FLAIR MR.
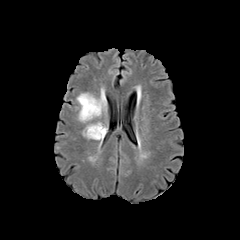
T1-weighted MR image.
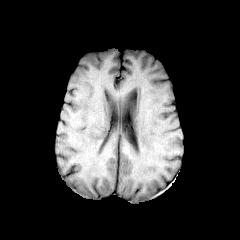
Post-contrast T1-weighted magnetic resonance.
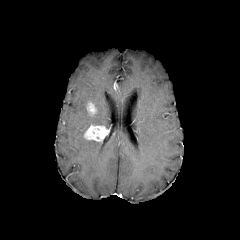
T2-weighted MRI.
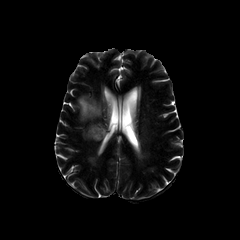
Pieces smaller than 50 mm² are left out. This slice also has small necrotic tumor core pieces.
<segmentation>
  <enhancing_tumor>86, 101, 97, 115; 84, 125, 108, 141</enhancing_tumor>
  <peritumoral_edema>83, 122, 107, 135; 77, 92, 106, 122</peritumoral_edema>
</segmentation>